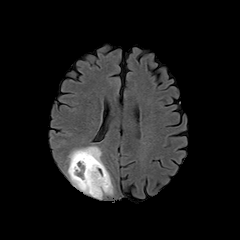
FLAIR MR.
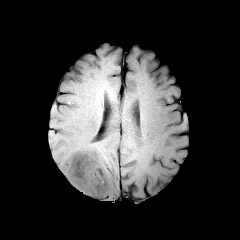
T1-weighted MR image.
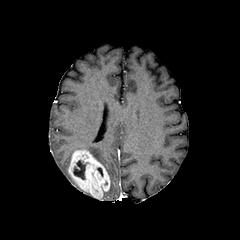
Same slice, post-contrast T1-weighted MR.
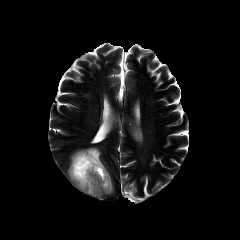
T2-weighted MR.
Image size 240x240; Axial slice; Head
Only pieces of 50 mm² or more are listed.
<segmentation>
  <necrotic_tumor_core>[x1=73, y1=160, x2=86, y2=179]</necrotic_tumor_core>
  <peritumoral_edema>[x1=69, y1=146, x2=104, y2=166], [x1=67, y1=170, x2=90, y2=194], [x1=103, y1=176, x2=113, y2=195]</peritumoral_edema>
  <enhancing_tumor>[x1=68, y1=150, x2=110, y2=199]</enhancing_tumor>
</segmentation>